Axial slice; Slice 49 of 155
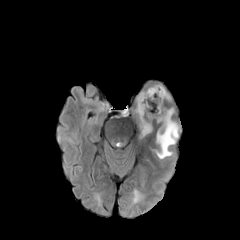
FLAIR MRI.
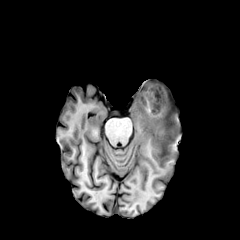
T1-weighted MR of the same slice.
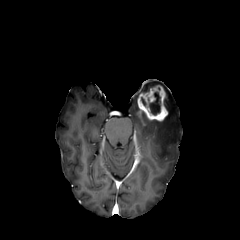
Same slice, post-contrast T1-weighted MR image.
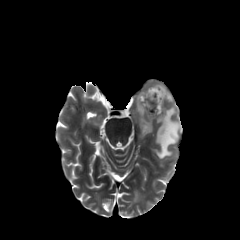
T2-weighted MR.
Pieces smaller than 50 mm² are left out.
enhancing tumor = l=137, t=85, r=168, b=121
peritumoral edema = l=140, t=113, r=152, b=136; l=155, t=108, r=179, b=159
necrotic tumor core = l=149, t=92, r=160, b=115